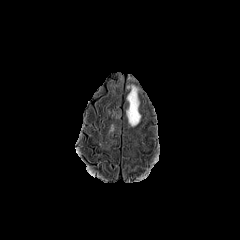
FLAIR MR.
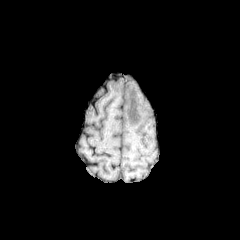
T1-weighted MR image of the same slice.
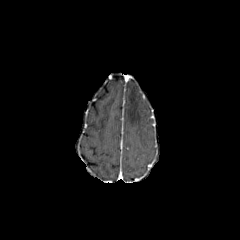
Same slice, post-contrast T1-weighted MR image.
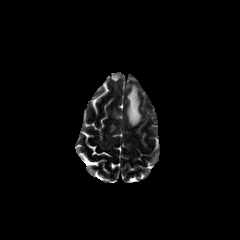
T2-weighted MR of the same slice.
Brain; 240x240 px
peritumoral edema: bounding box region(126, 85, 141, 126)